FLAIR MR image.
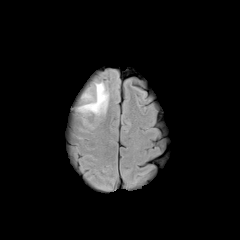
T1-weighted MRI.
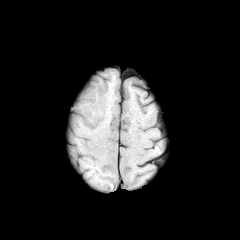
Post-contrast T1-weighted magnetic resonance.
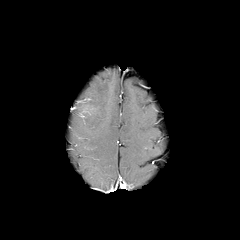
T2-weighted MR.
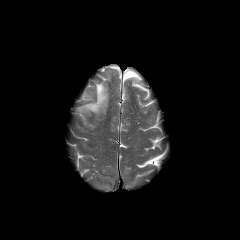
Axial view
The peritumoral edema appears at region(78, 82, 108, 115).